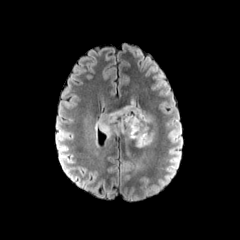
FLAIR MR.
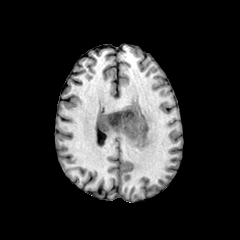
Same slice, T1-weighted MRI.
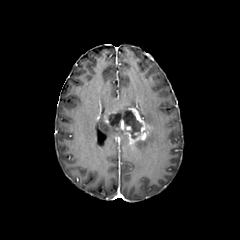
Post-contrast T1-weighted MR image.
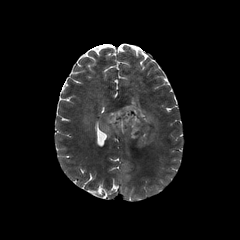
T2-weighted MRI.
Head.
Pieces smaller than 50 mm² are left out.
Annotated regions:
- peritumoral edema: 123,99,153,125; 98,114,119,137; 138,130,155,150
- enhancing tumor: 104,107,150,145
- necrotic tumor core: 108,109,142,138